FLAIR MR.
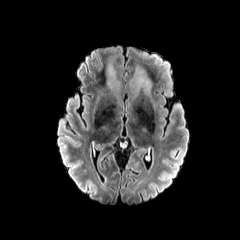
T1-weighted MR.
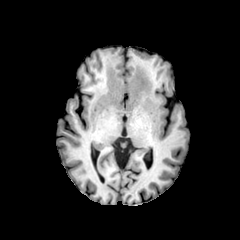
Post-contrast T1-weighted magnetic resonance.
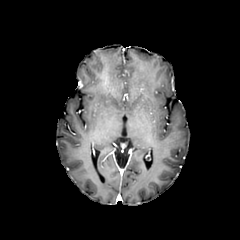
T2-weighted MRI.
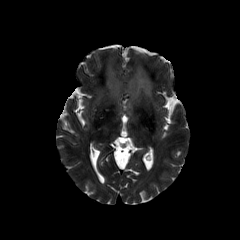
240x240 px | Axial view | Brain
<segmentation>
  <peritumoral_edema>rect(130, 67, 151, 97); rect(108, 64, 120, 94)</peritumoral_edema>
</segmentation>